Slice index 98, Axial view, Brain
FLAIR MR image.
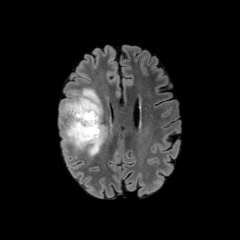
T1-weighted MRI.
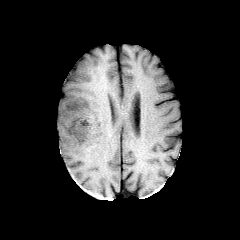
Post-contrast T1-weighted MR.
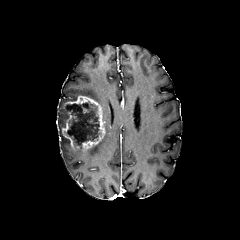
T2-weighted MR image.
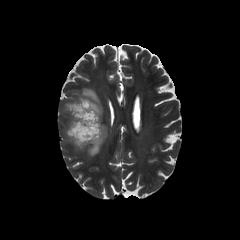
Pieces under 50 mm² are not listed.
necrotic tumor core: 66,103,100,146 | peritumoral edema: 60,88,101,118; 85,126,106,157; 61,133,68,152 | enhancing tumor: 61,95,105,152